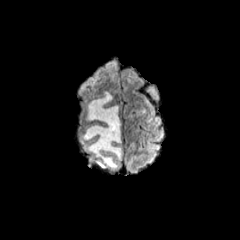
FLAIR MRI.
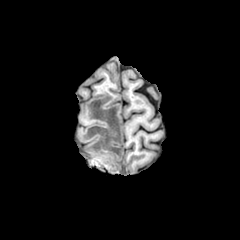
Same slice, T1-weighted MRI.
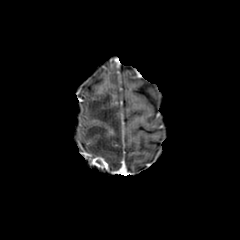
Post-contrast T1-weighted MR image.
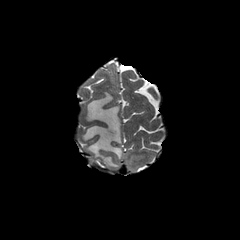
T2-weighted MRI of the same slice.
Brain, Axial plane
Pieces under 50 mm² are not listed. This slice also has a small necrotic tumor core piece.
peritumoral edema — l=81, t=91, r=122, b=169
enhancing tumor — l=106, t=128, r=115, b=137; l=91, t=155, r=108, b=168